FLAIR MR image.
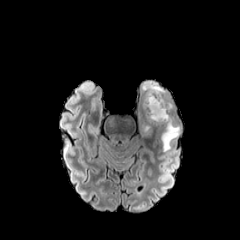
T1-weighted MR.
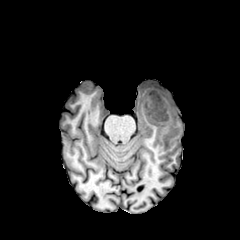
Post-contrast T1-weighted magnetic resonance.
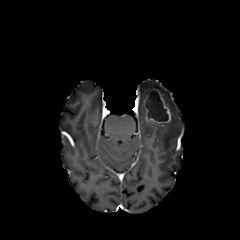
T2-weighted MR image.
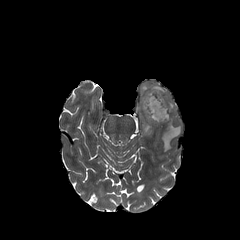
Head.
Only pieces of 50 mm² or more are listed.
{
  "enhancing_tumor": [
    "x1=142 y1=89 x2=170 y2=125"
  ],
  "peritumoral_edema": [
    "x1=145 y1=120 x2=153 y2=132",
    "x1=141 y1=81 x2=180 y2=151"
  ],
  "necrotic_tumor_core": [
    "x1=146 y1=90 x2=168 y2=121"
  ]
}